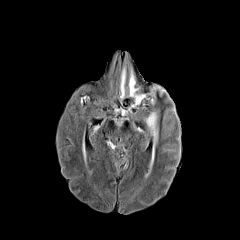
FLAIR magnetic resonance.
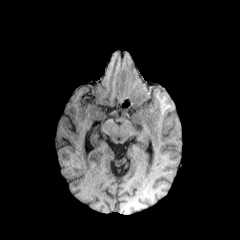
T1-weighted magnetic resonance of the same slice.
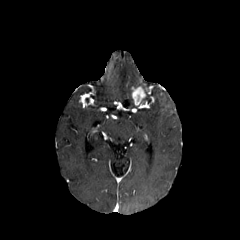
Post-contrast T1-weighted magnetic resonance.
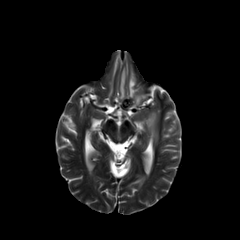
T2-weighted MR image of the same slice.
Axial plane. 240x240. Brain.
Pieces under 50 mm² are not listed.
enhancing tumor: l=131, t=87, r=145, b=105
peritumoral edema: l=128, t=69, r=135, b=96; l=120, t=67, r=126, b=100; l=144, t=112, r=158, b=148